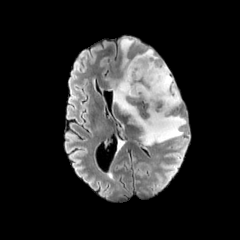
FLAIR MR image.
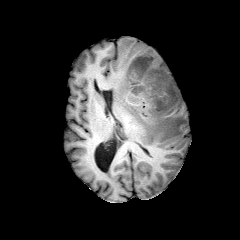
T1-weighted MRI of the same slice.
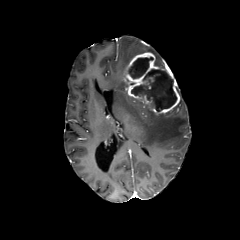
Post-contrast T1-weighted MRI of the same slice.
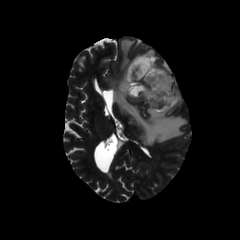
Same slice, T2-weighted magnetic resonance.
Axial plane.
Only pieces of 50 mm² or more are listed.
The 2 largest peritumoral edema regions are located at (142, 48, 163, 65), (104, 37, 187, 145). The largest enhancing tumor region appears at (123, 52, 180, 115). The 2 largest necrotic tumor core regions appear at (128, 57, 153, 78), (131, 69, 177, 111).